240x240
FLAIR MR.
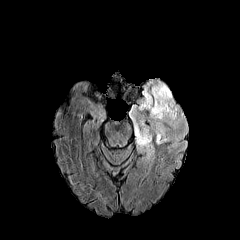
T1-weighted MR.
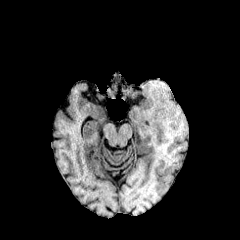
Post-contrast T1-weighted MRI.
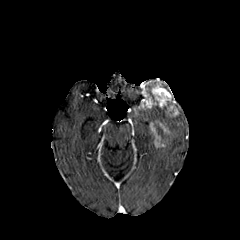
T2-weighted MR image.
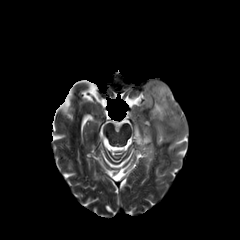
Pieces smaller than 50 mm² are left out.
Annotated regions:
• peritumoral edema: [129, 106, 184, 159], [161, 130, 172, 141]
• enhancing tumor: [150, 121, 168, 146], [134, 81, 179, 116]